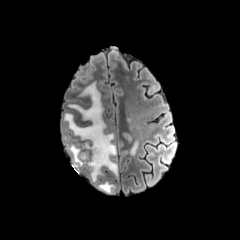
FLAIR magnetic resonance.
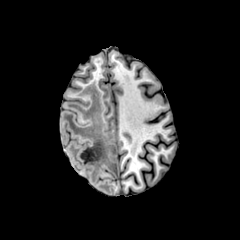
T1-weighted MRI.
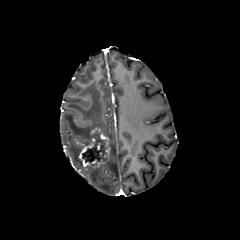
Post-contrast T1-weighted MR.
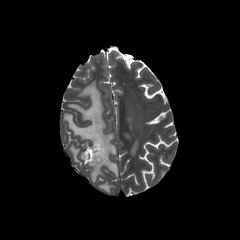
T2-weighted magnetic resonance.
Head
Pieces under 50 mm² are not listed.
{"enhancing_tumor": ["<box>79,127,110,167</box>"], "peritumoral_edema": ["<box>97,181,115,193</box>", "<box>64,82,118,182</box>", "<box>130,140,138,156</box>"], "necrotic_tumor_core": ["<box>82,132,106,162</box>"]}